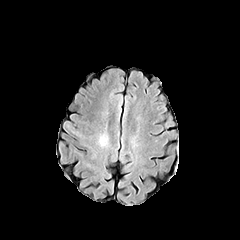
FLAIR MRI.
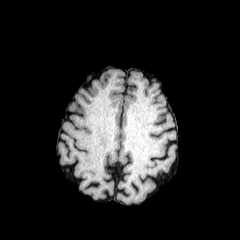
Same slice, T1-weighted MRI.
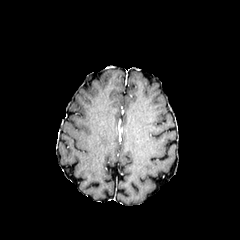
Post-contrast T1-weighted magnetic resonance of the same slice.
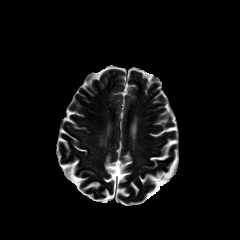
T2-weighted MR image.
Axial plane. 240x240.
peritumoral edema — [99, 135, 107, 146]